FLAIR MR image.
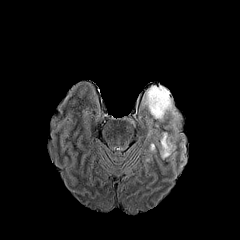
T1-weighted MRI.
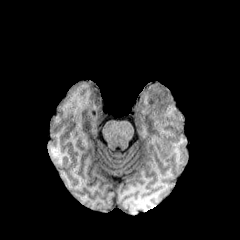
Post-contrast T1-weighted MR image.
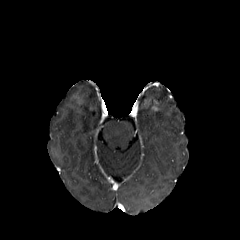
T2-weighted magnetic resonance.
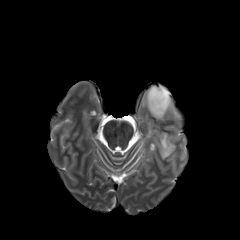
240x240 px | Axial plane
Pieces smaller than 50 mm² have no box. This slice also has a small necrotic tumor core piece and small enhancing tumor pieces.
* peritumoral edema: x1=143, y1=86, x2=178, y2=120; x1=160, y1=132, x2=175, y2=158